Head
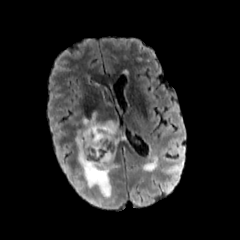
FLAIR MR image.
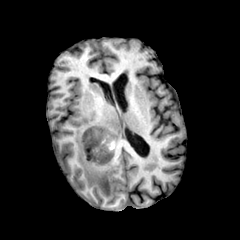
T1-weighted MR of the same slice.
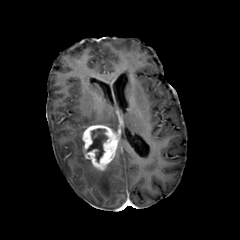
Post-contrast T1-weighted MR image.
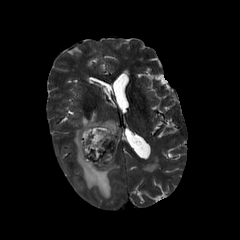
T2-weighted magnetic resonance of the same slice.
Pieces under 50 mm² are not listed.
{"necrotic_tumor_core": ["87:128:107:161"], "peritumoral_edema": ["75:130:118:198", "82:112:118:131"], "enhancing_tumor": ["82:125:120:170"]}